Brain
FLAIR magnetic resonance.
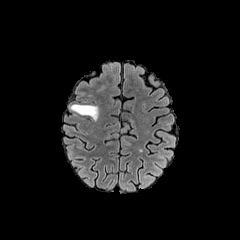
T1-weighted MR image.
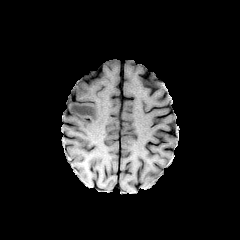
Post-contrast T1-weighted magnetic resonance.
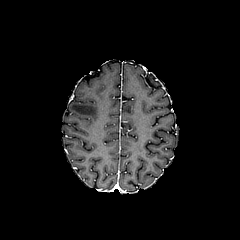
T2-weighted MR image.
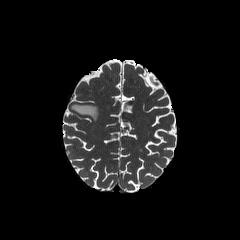
{"peritumoral_edema": ["[71,104,98,120]"]}